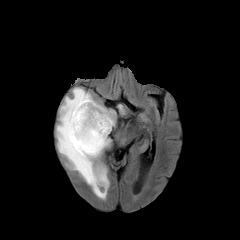
FLAIR magnetic resonance.
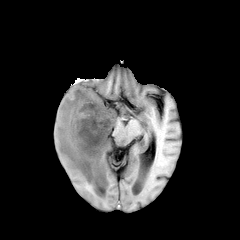
T1-weighted MRI of the same slice.
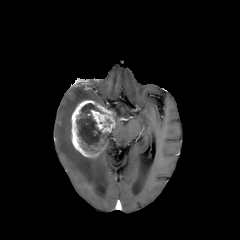
Post-contrast T1-weighted MR image of the same slice.
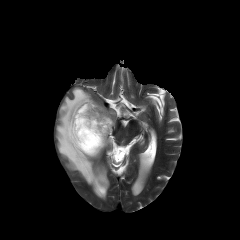
T2-weighted MR image.
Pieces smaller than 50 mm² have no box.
necrotic tumor core at 77,103,107,147
peritumoral edema at 56,87,109,199
enhancing tumor at 71,100,115,158